Axial plane | Slice 50/155 | Brain | Image size 240x240
FLAIR MR.
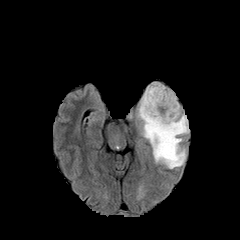
T1-weighted MRI.
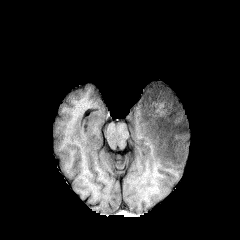
Post-contrast T1-weighted MR image.
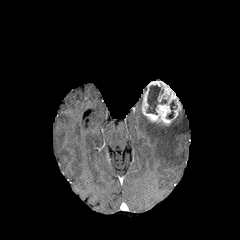
T2-weighted magnetic resonance.
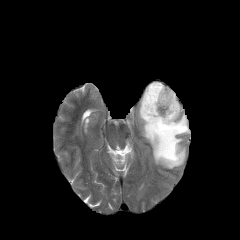
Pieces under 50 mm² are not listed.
- enhancing tumor: 141,81,181,125
- peritumoral edema: 137,97,189,168
- necrotic tumor core: 166,101,176,118; 147,85,160,114